Head; Axial plane; 240x240 px; Slice index 111
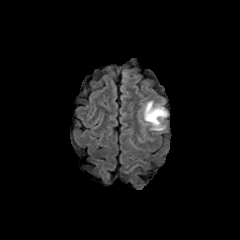
FLAIR magnetic resonance.
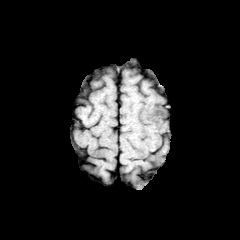
T1-weighted MR image of the same slice.
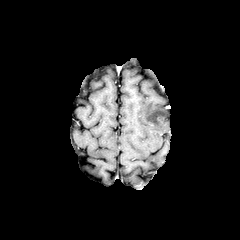
Post-contrast T1-weighted magnetic resonance.
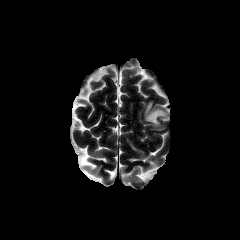
T2-weighted MR.
peritumoral edema: bounding box x1=143 y1=101 x2=167 y2=130